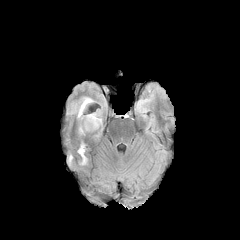
FLAIR MRI.
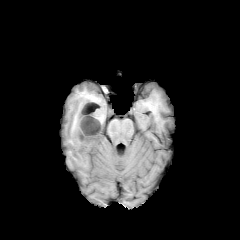
T1-weighted MRI.
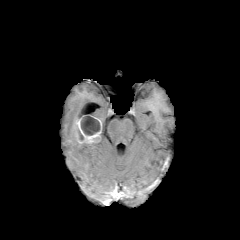
Same slice, post-contrast T1-weighted MR image.
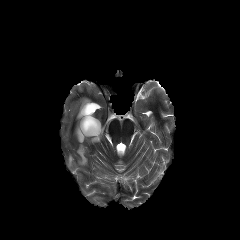
T2-weighted MRI of the same slice.
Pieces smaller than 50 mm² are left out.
Annotated regions:
- necrotic tumor core: l=81, t=114, r=100, b=135
- enhancing tumor: l=75, t=117, r=101, b=143
- peritumoral edema: l=77, t=143, r=87, b=164; l=70, t=97, r=91, b=119